Axial slice | Slice 86 of 155 | Image size 240x240
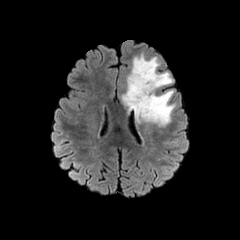
FLAIR magnetic resonance.
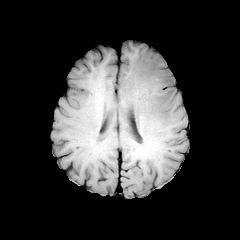
T1-weighted MR.
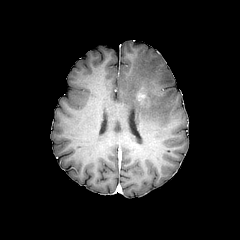
Same slice, post-contrast T1-weighted MR.
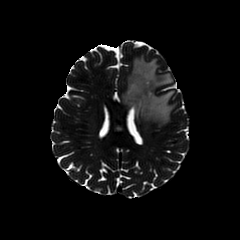
T2-weighted MRI.
<segmentation>
  <peritumoral_edema>rect(122, 55, 175, 126)</peritumoral_edema>
  <enhancing_tumor>rect(137, 91, 146, 102)</enhancing_tumor>
</segmentation>